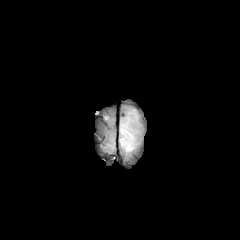
FLAIR MRI.
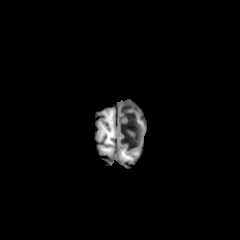
Same slice, T1-weighted MR image.
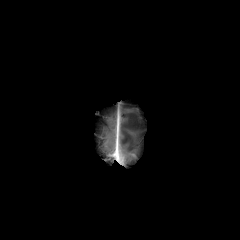
Post-contrast T1-weighted MRI of the same slice.
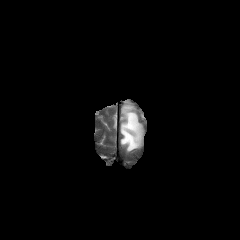
T2-weighted magnetic resonance.
Brain, Axial view
peritumoral_edema:
  - bbox=[121, 114, 138, 150]